240x240 | Brain | Slice 23/155
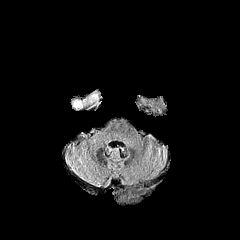
FLAIR MR image.
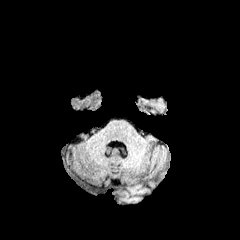
T1-weighted MR.
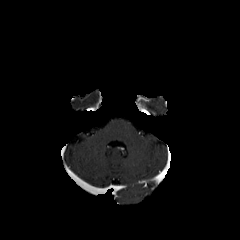
Same slice, post-contrast T1-weighted MRI.
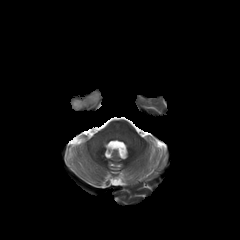
T2-weighted MR of the same slice.
2 peritumoral edema regions are bounded by <bbox>89, 94, 97, 102</bbox>, <bbox>73, 100, 83, 107</bbox>.